FLAIR MRI.
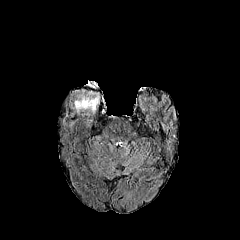
T1-weighted MRI.
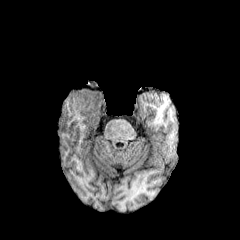
Post-contrast T1-weighted magnetic resonance.
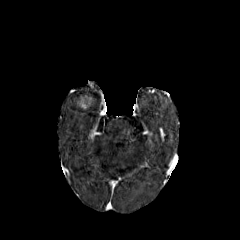
T2-weighted MR.
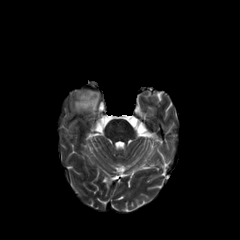
Head. Image size 240x240.
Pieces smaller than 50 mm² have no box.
The largest peritumoral edema region is at 68,90,100,113. The largest enhancing tumor region is bounded by 77,93,94,109.